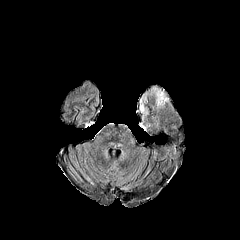
FLAIR magnetic resonance.
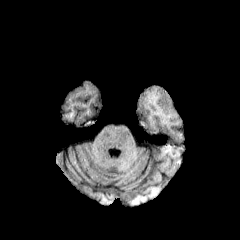
T1-weighted MR image of the same slice.
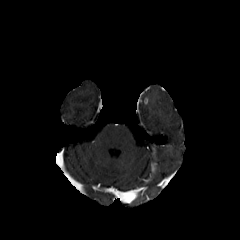
Post-contrast T1-weighted MR.
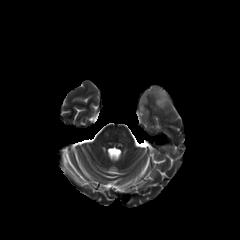
T2-weighted MR.
Axial view; Head
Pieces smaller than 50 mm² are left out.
The largest peritumoral edema region appears at bbox(153, 88, 168, 106).